FLAIR MR image.
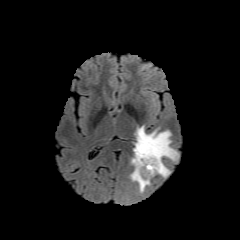
T1-weighted MR image.
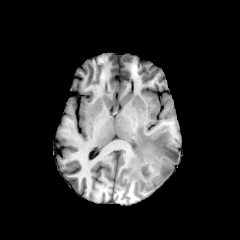
Post-contrast T1-weighted magnetic resonance.
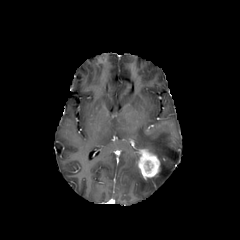
T2-weighted magnetic resonance.
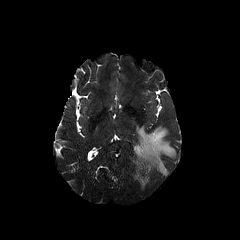
necrotic tumor core = {"x1": 144, "y1": 162, "x2": 154, "y2": 172}
enhancing tumor = {"x1": 137, "y1": 149, "x2": 159, "y2": 178}
peritumoral edema = {"x1": 130, "y1": 126, "x2": 178, "y2": 192}